FLAIR magnetic resonance.
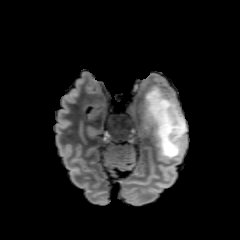
T1-weighted MR.
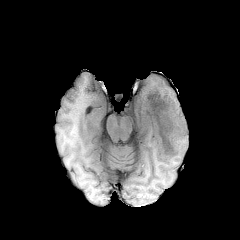
Post-contrast T1-weighted MR image.
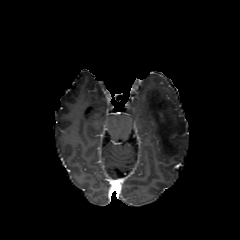
T2-weighted MRI.
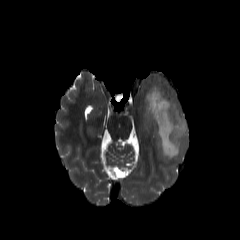
Head
peritumoral edema at [144,86,186,161]